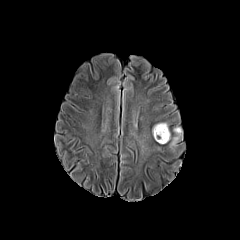
FLAIR MR.
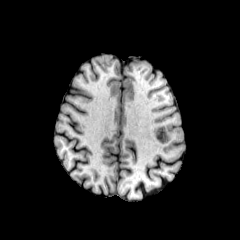
T1-weighted MRI of the same slice.
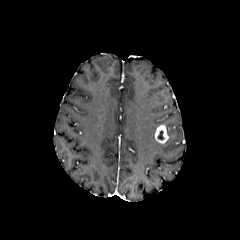
Post-contrast T1-weighted magnetic resonance.
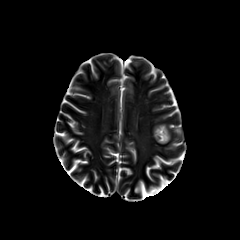
T2-weighted MR image of the same slice.
Head; Axial plane
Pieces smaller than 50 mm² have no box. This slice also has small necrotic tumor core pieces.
enhancing_tumor:
  - (left=154, top=124, right=168, bottom=144)
peritumoral_edema:
  - (left=169, top=127, right=182, bottom=149)
  - (left=152, top=123, right=167, bottom=135)